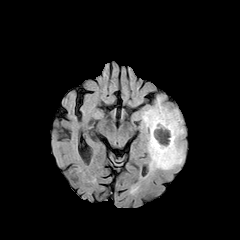
FLAIR MR.
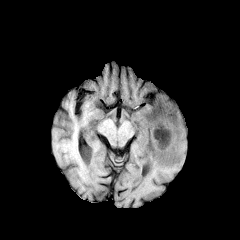
T1-weighted magnetic resonance.
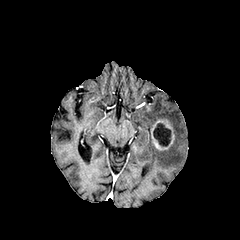
Same slice, post-contrast T1-weighted MR.
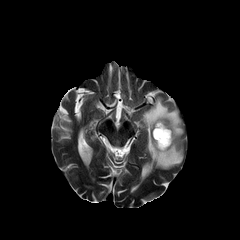
T2-weighted MR image of the same slice.
Brain, Axial view
enhancing tumor: box=[151, 119, 174, 150] | necrotic tumor core: box=[153, 123, 171, 146] | peritumoral edema: box=[139, 96, 184, 172]